FLAIR MR image.
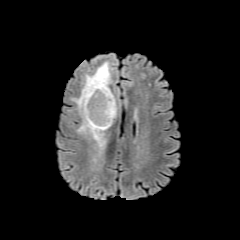
T1-weighted MR.
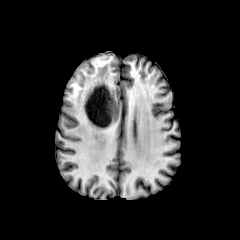
Post-contrast T1-weighted MR.
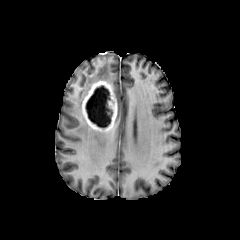
T2-weighted magnetic resonance.
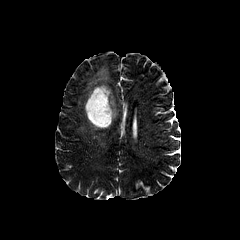
240x240 px. Brain.
<segmentation>
  <enhancing_tumor>82,80,117,131</enhancing_tumor>
  <peritumoral_edema>73,62,111,148</peritumoral_edema>
  <necrotic_tumor_core>85,85,112,128</necrotic_tumor_core>
</segmentation>